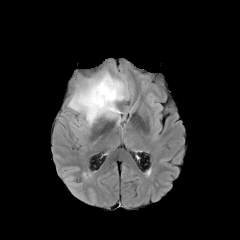
FLAIR MR image.
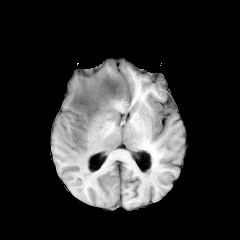
T1-weighted MRI of the same slice.
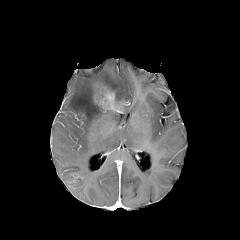
Post-contrast T1-weighted MR image of the same slice.
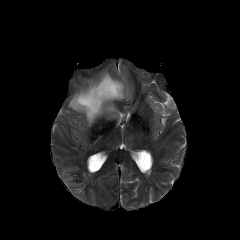
Same slice, T2-weighted MR image.
Brain, Axial slice
peritumoral edema = l=67, t=61, r=128, b=126
enhancing tumor = l=93, t=83, r=117, b=111